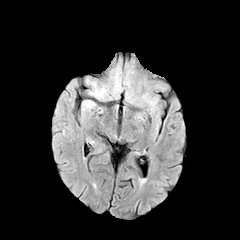
FLAIR MR.
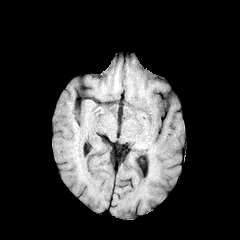
T1-weighted magnetic resonance.
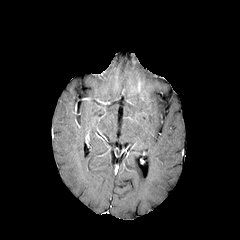
Post-contrast T1-weighted MR image.
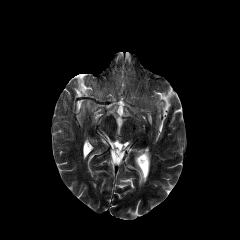
T2-weighted MR of the same slice.
240x240
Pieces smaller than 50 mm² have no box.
peritumoral edema: x1=147, y1=100, x2=157, y2=108; x1=92, y1=88, x2=106, y2=97